Brain. Slice index 73. Axial plane.
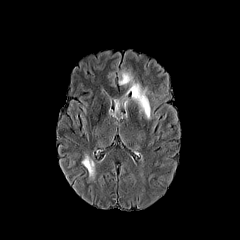
FLAIR MR.
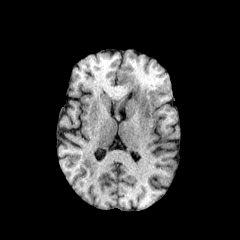
T1-weighted MR.
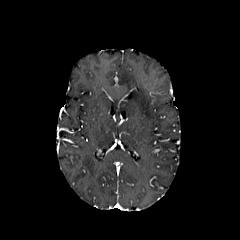
Post-contrast T1-weighted MRI.
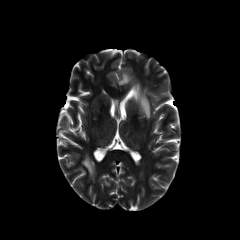
T2-weighted MR of the same slice.
peritumoral edema = region(82, 152, 94, 180); region(119, 69, 151, 120)